Slice 109 of 155; Image width 240 mm, 1.00 mm slice spacing
FLAIR MR image.
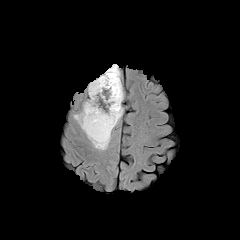
T1-weighted MR.
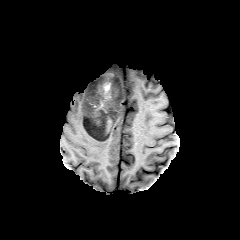
Post-contrast T1-weighted MR.
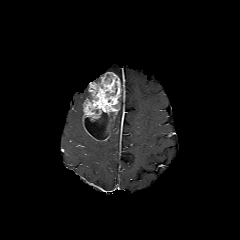
T2-weighted MRI.
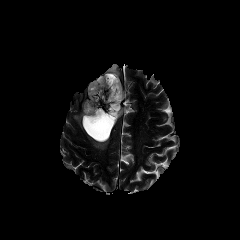
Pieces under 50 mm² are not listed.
<segmentation>
  <peritumoral_edema>box(106, 64, 120, 77); box(73, 110, 84, 131); box(86, 131, 111, 150); box(112, 106, 122, 130)</peritumoral_edema>
  <necrotic_tumor_core>box(84, 112, 113, 140)</necrotic_tumor_core>
  <enhancing_tumor>box(82, 72, 124, 141)</enhancing_tumor>
</segmentation>